FLAIR MR.
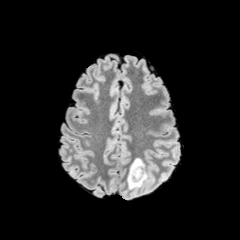
T1-weighted MRI.
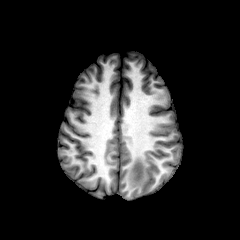
Post-contrast T1-weighted magnetic resonance.
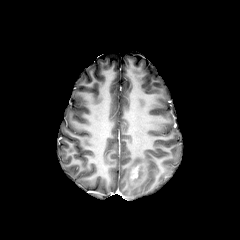
T2-weighted MR image.
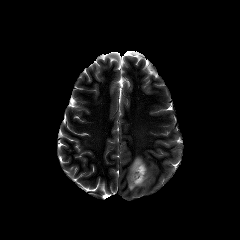
Head
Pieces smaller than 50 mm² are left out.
enhancing_tumor:
  - 131 165 140 179
peritumoral_edema:
  - 127 158 148 189